Image width 240 mm, 1.00 mm slice spacing, Axial plane
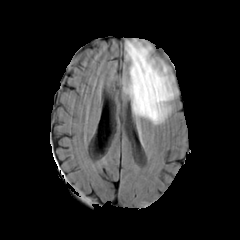
FLAIR magnetic resonance.
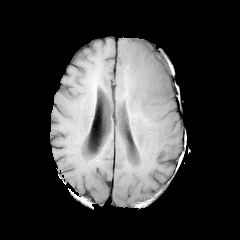
T1-weighted MR image of the same slice.
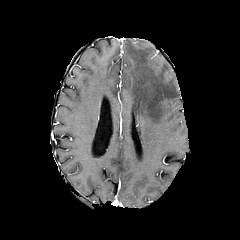
Post-contrast T1-weighted MR image of the same slice.
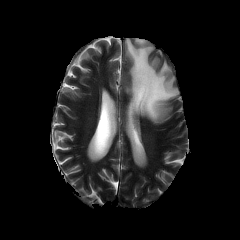
T2-weighted MR.
The peritumoral edema is located at x1=123 y1=39 x2=176 y2=124.